FLAIR MR.
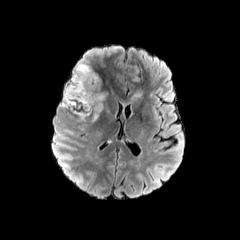
T1-weighted MR image.
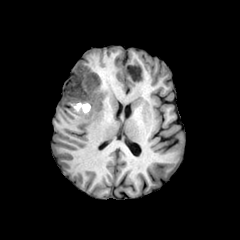
Post-contrast T1-weighted magnetic resonance.
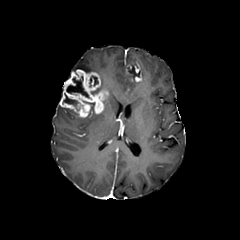
T2-weighted MR image.
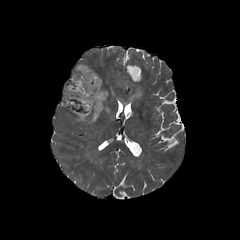
Axial slice.
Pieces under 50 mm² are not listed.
{
  "necrotic_tumor_core": [
    "63, 94, 82, 109",
    "66, 76, 88, 97"
  ],
  "enhancing_tumor": [
    "124, 64, 143, 82",
    "59, 69, 109, 118"
  ],
  "peritumoral_edema": [
    "73, 59, 94, 71",
    "78, 113, 99, 122",
    "131, 89, 142, 99"
  ]
}